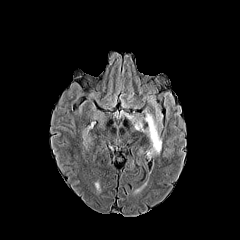
FLAIR MR image.
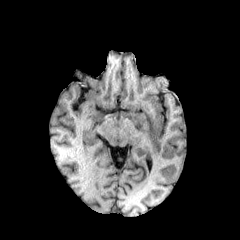
T1-weighted MR.
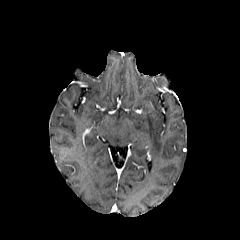
Same slice, post-contrast T1-weighted MR.
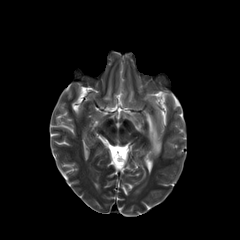
T2-weighted MR of the same slice.
Axial plane; Head; Image size 240x240
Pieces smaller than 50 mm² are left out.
{"peritumoral_edema": ["<bbox>135, 123, 143, 131</bbox>", "<bbox>145, 113, 161, 155</bbox>"]}